FLAIR magnetic resonance.
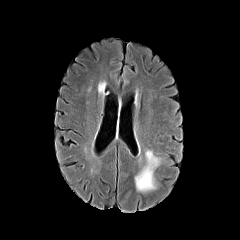
T1-weighted MR image.
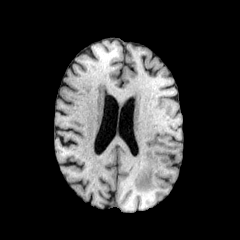
Post-contrast T1-weighted MR image.
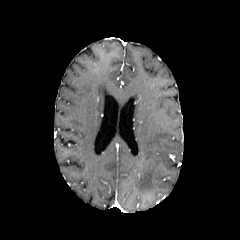
T2-weighted MR.
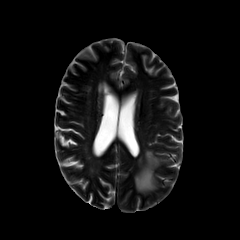
Image size 240x240
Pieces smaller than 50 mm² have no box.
peritumoral_edema:
  - [135,150,160,192]